FLAIR MR image.
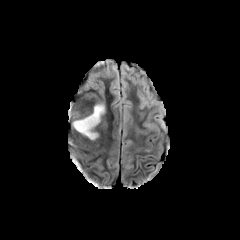
T1-weighted MR.
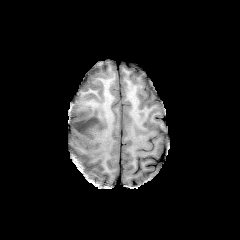
Post-contrast T1-weighted magnetic resonance.
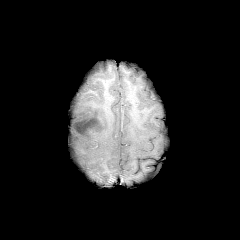
T2-weighted MR image.
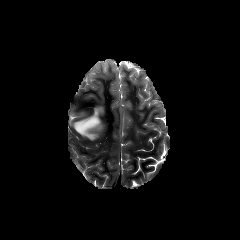
Axial slice. Head.
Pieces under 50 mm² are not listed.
enhancing tumor: box(78, 119, 100, 139) | peritumoral edema: box(69, 104, 104, 131)